Image width 240 mm, 1.00 mm slice spacing | Brain
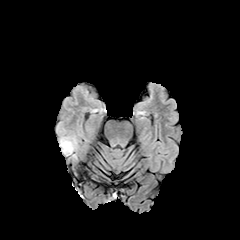
FLAIR magnetic resonance.
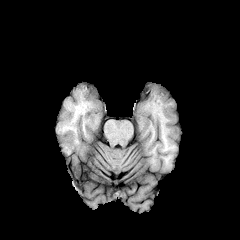
T1-weighted MR image.
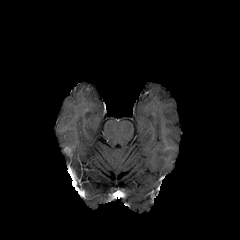
Post-contrast T1-weighted magnetic resonance.
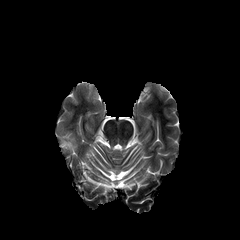
T2-weighted magnetic resonance of the same slice.
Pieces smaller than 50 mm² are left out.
peritumoral edema: left=60, top=136, right=77, bottom=155
enhancing tumor: left=64, top=146, right=71, bottom=154